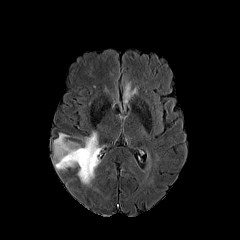
FLAIR MR.
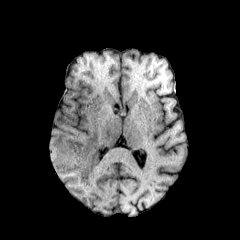
T1-weighted magnetic resonance.
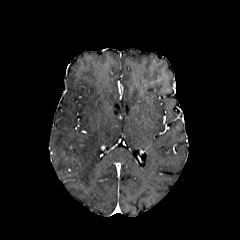
Post-contrast T1-weighted MR.
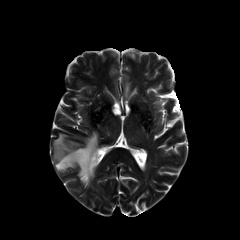
Same slice, T2-weighted magnetic resonance.
Head; Image size 240x240
Findings:
* peritumoral edema: [54, 132, 99, 184]